Slice 67/155, 240x240 px
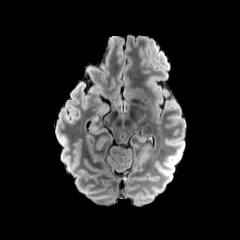
FLAIR magnetic resonance.
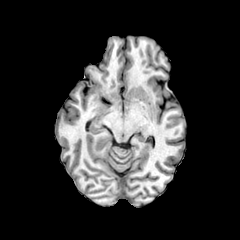
Same slice, T1-weighted magnetic resonance.
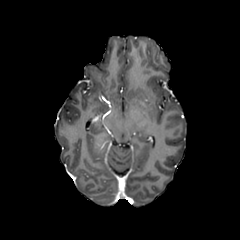
Post-contrast T1-weighted MR image of the same slice.
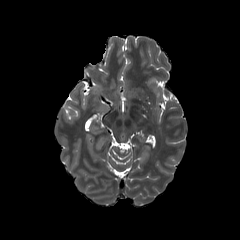
T2-weighted MR image.
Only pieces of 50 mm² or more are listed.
The largest peritumoral edema region is at (95,134,108,150).